Image size 240x240 | Image covers 240 mm x 240 mm | Slice 86/155
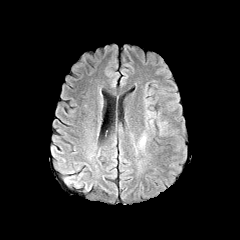
FLAIR MR image.
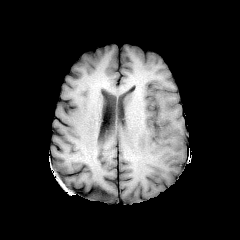
T1-weighted MRI.
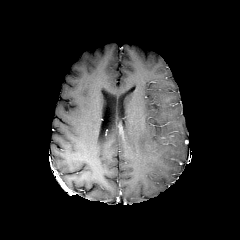
Post-contrast T1-weighted MR.
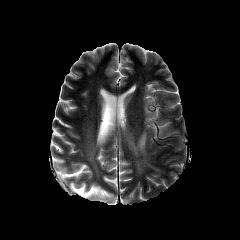
T2-weighted MR image of the same slice.
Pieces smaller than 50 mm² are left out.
<segmentation>
  <peritumoral_edema>x1=139 y1=134 x2=146 y2=149</peritumoral_edema>
</segmentation>